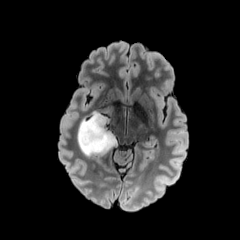
FLAIR MR image.
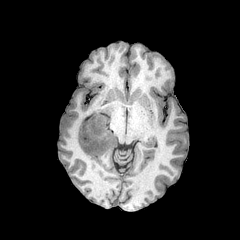
T1-weighted MR.
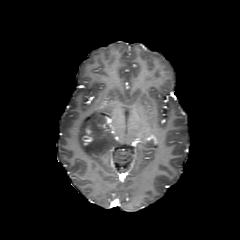
Post-contrast T1-weighted MR.
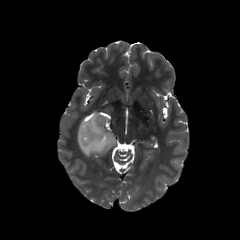
Same slice, T2-weighted MR image.
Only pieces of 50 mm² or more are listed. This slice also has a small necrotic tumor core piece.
The peritumoral edema is at [x1=77, y1=106, x2=117, y2=156]. The enhancing tumor is at [x1=82, y1=127, x2=92, y2=145].